FLAIR MRI.
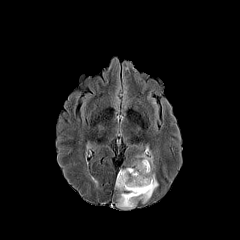
T1-weighted magnetic resonance.
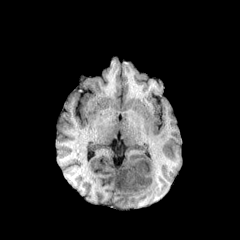
Post-contrast T1-weighted MR image.
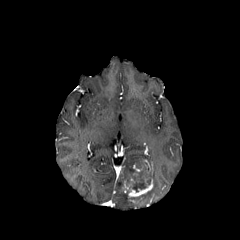
T2-weighted MRI.
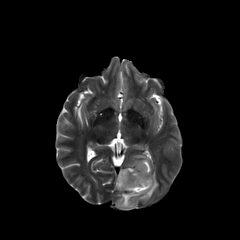
240x240 px | Brain
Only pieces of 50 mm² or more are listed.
The 2 largest enhancing tumor regions appear at x1=134, y1=159, x2=152, y2=174; x1=122, y1=175, x2=153, y2=197. The largest peritumoral edema region appears at x1=115, y1=151, x2=158, y2=209. The largest necrotic tumor core region lies within x1=132, y1=181, x2=146, y2=191.